Slice 60/155. Image size 240x240.
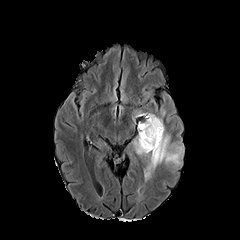
FLAIR MR image.
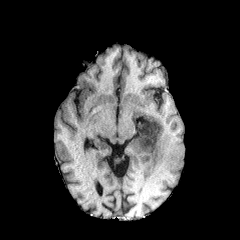
Same slice, T1-weighted MRI.
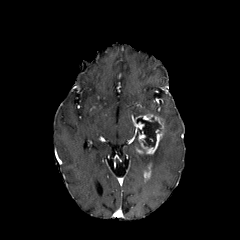
Same slice, post-contrast T1-weighted MR image.
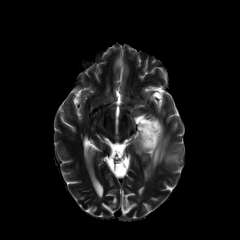
T2-weighted MR of the same slice.
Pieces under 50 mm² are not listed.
necrotic_tumor_core:
  - 136,117,161,147
peritumoral_edema:
  - 150,130,183,172
enhancing_tumor:
  - 135,114,164,154
  - 144,167,151,179